Image width 240 mm. Head. Slice 117/155.
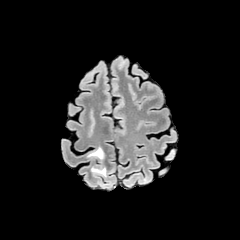
FLAIR MR.
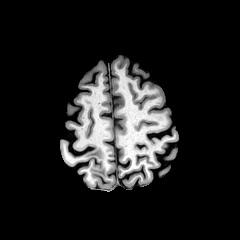
T1-weighted MRI.
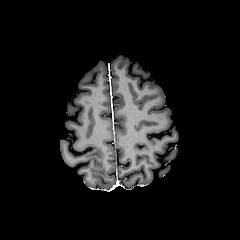
Post-contrast T1-weighted MRI.
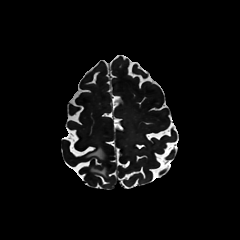
Same slice, T2-weighted magnetic resonance.
Segmented structures:
- peritumoral edema: [87,147,104,159], [91,166,105,175]